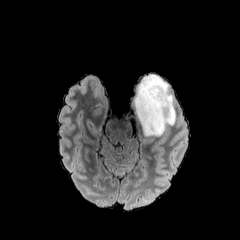
FLAIR MR image.
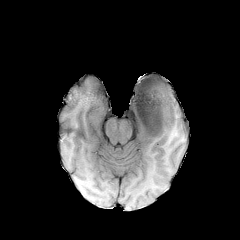
T1-weighted magnetic resonance of the same slice.
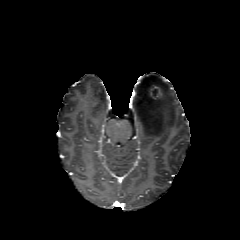
Post-contrast T1-weighted MRI.
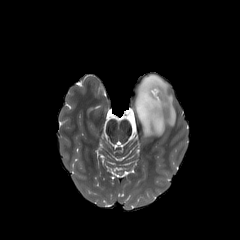
Same slice, T2-weighted MR image.
Image size 240x240
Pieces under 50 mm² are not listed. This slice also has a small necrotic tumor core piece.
enhancing tumor: 149:85:162:99
peritumoral edema: 132:74:176:136